FLAIR MR image.
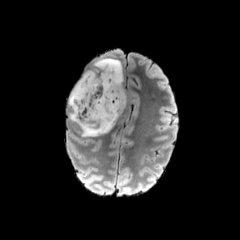
T1-weighted MRI.
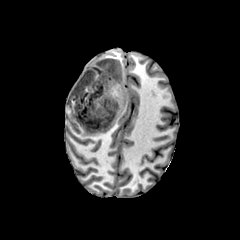
Post-contrast T1-weighted MR.
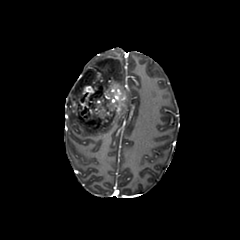
T2-weighted MRI.
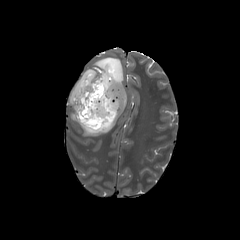
Image size 240x240.
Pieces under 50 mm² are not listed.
necrotic_tumor_core:
  - <bbox>80, 72, 107, 100</bbox>
  - <bbox>78, 107, 101, 123</bbox>
enhancing_tumor:
  - <bbox>72, 69, 126, 127</bbox>
peritumoral_edema:
  - <bbox>82, 58, 123, 85</bbox>
  - <bbox>70, 111, 119, 136</bbox>
  - <bbox>69, 78, 81, 109</bbox>